FLAIR MR image.
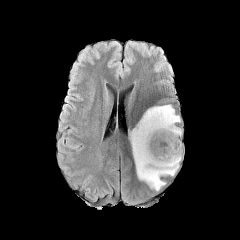
T1-weighted MR image.
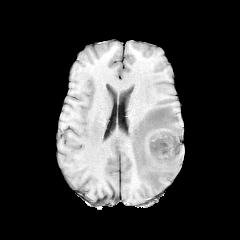
Post-contrast T1-weighted MR image.
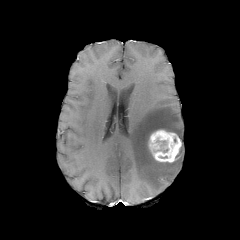
T2-weighted MR.
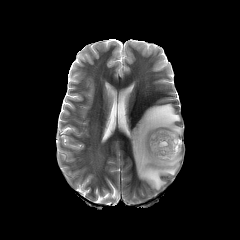
Axial view, Head
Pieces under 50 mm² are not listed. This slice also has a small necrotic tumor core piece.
enhancing tumor: bounding box rect(148, 130, 181, 162)
peritumoral edema: bounding box rect(129, 104, 182, 190)